Image width 240 mm, Brain, Slice 73/155
FLAIR magnetic resonance.
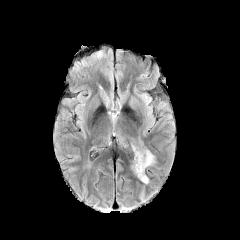
T1-weighted magnetic resonance.
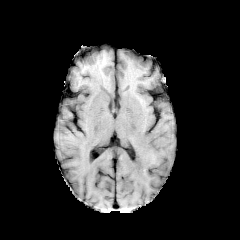
Post-contrast T1-weighted magnetic resonance.
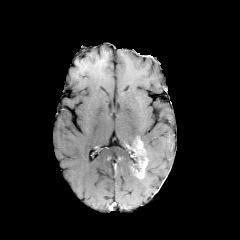
T2-weighted MR image.
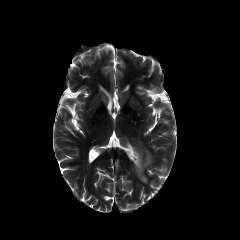
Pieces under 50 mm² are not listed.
2 enhancing tumor regions appear at (134, 140, 145, 155), (135, 157, 147, 178). The largest peritumoral edema region is at (137, 150, 153, 166).